Slice 85 of 155 | Image width 240 mm, 1.00 mm slice spacing
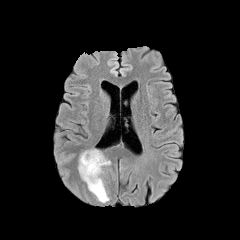
FLAIR MR image.
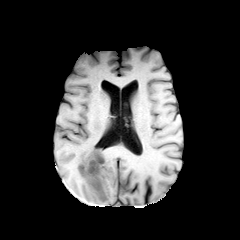
T1-weighted MR.
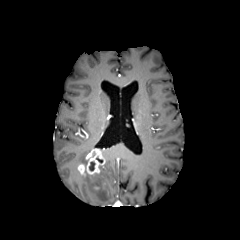
Post-contrast T1-weighted MR of the same slice.
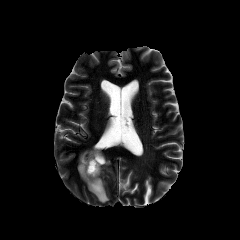
T2-weighted MR.
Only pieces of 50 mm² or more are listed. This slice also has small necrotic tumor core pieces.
Findings:
* peritumoral edema: left=79, top=150, right=91, bottom=164; left=80, top=166, right=109, bottom=202
* enhancing tumor: left=78, top=149, right=105, bottom=176